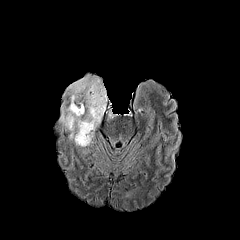
FLAIR magnetic resonance.
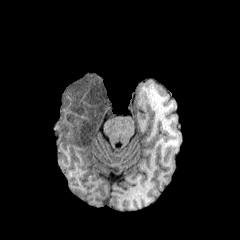
T1-weighted MRI.
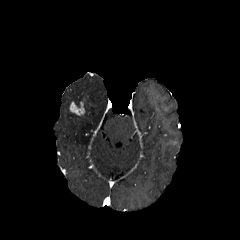
Post-contrast T1-weighted MR image.
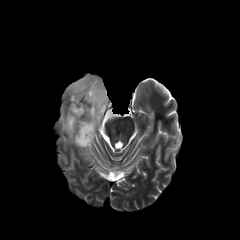
T2-weighted magnetic resonance.
240x240 px. Head.
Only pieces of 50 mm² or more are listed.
peritumoral edema: [60,76,106,146] | enhancing tumor: [69,101,84,115]